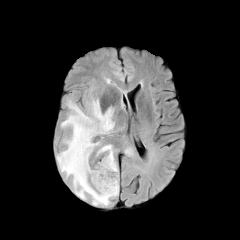
FLAIR MR.
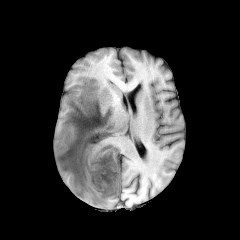
Same slice, T1-weighted MR image.
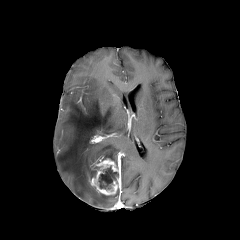
Post-contrast T1-weighted MRI.
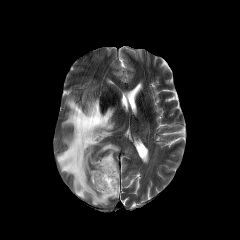
T2-weighted MR.
Brain | Axial plane
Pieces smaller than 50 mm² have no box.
The enhancing tumor is bounded by l=89, t=157, r=120, b=195. The largest peritumoral edema region is bounded by l=56, t=97, r=119, b=206. The necrotic tumor core is bounded by l=99, t=167, r=118, b=188.